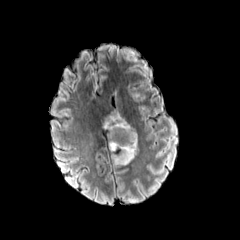
FLAIR MR.
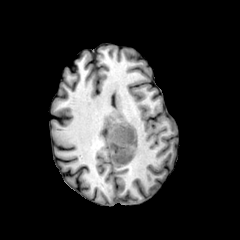
T1-weighted MR image.
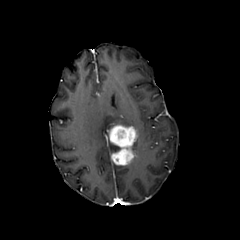
Post-contrast T1-weighted MRI of the same slice.
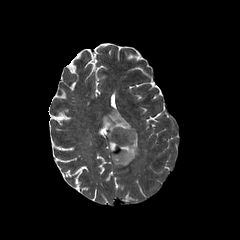
T2-weighted MR image.
240x240 px; Brain
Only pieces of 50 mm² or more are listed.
enhancing tumor = [108, 123, 137, 165]
peritumoral edema = [109, 141, 120, 152], [104, 112, 131, 130]